FLAIR MRI.
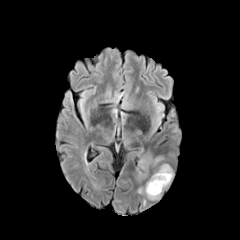
T1-weighted MRI.
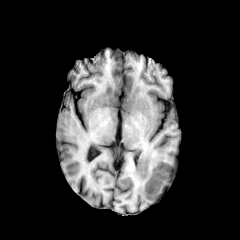
Post-contrast T1-weighted magnetic resonance.
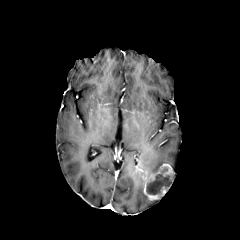
T2-weighted MR image.
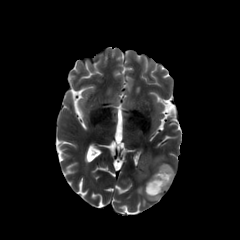
Axial view | Image size 240x240
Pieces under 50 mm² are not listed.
The largest peritumoral edema region is bounded by (left=139, top=154, right=163, bottom=169). The enhancing tumor is at (left=138, top=163, right=174, bottom=200). The largest necrotic tumor core region is at (left=147, top=174, right=172, bottom=194).